Head
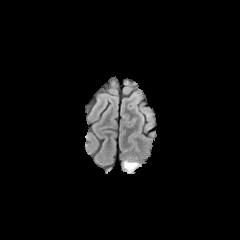
FLAIR MR.
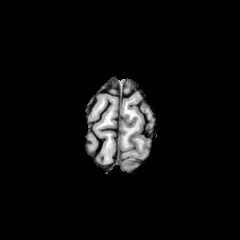
T1-weighted MR of the same slice.
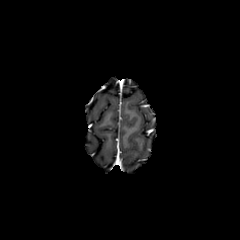
Same slice, post-contrast T1-weighted MRI.
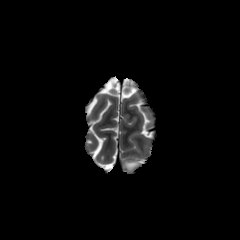
T2-weighted MRI.
Segmented structures:
• peritumoral edema: bbox=[124, 161, 139, 172]